Brain; Axial plane; Image width 240 mm; Slice 116/155
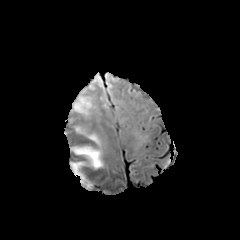
FLAIR MR.
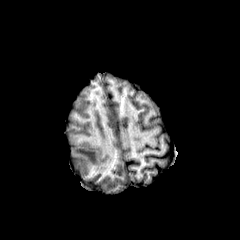
T1-weighted MR image of the same slice.
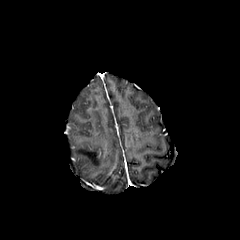
Post-contrast T1-weighted MRI of the same slice.
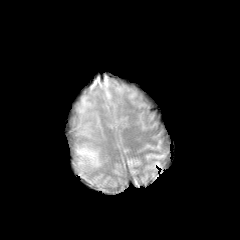
T2-weighted MR of the same slice.
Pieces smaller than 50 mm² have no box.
The 4 largest peritumoral edema regions are located at (x1=73, y1=145, x2=102, y2=168), (x1=73, y1=162, x2=89, y2=171), (x1=75, y1=126, x2=83, y2=134), (x1=87, y1=134, x2=98, y2=143).